Head
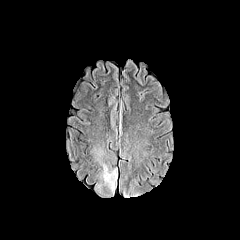
FLAIR MR image.
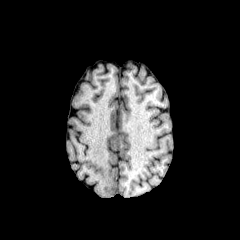
T1-weighted MR image of the same slice.
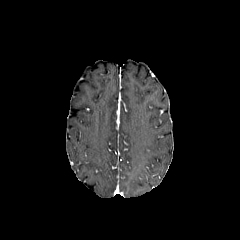
Same slice, post-contrast T1-weighted MR.
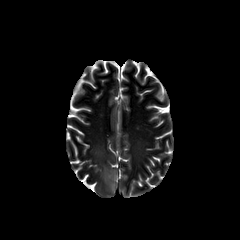
T2-weighted MR image.
peritumoral_edema:
  - bbox(89, 147, 118, 193)